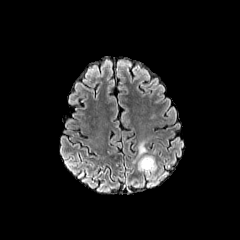
FLAIR MR.
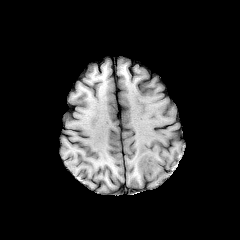
T1-weighted MR image.
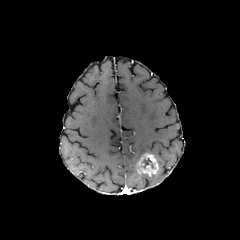
Same slice, post-contrast T1-weighted MR.
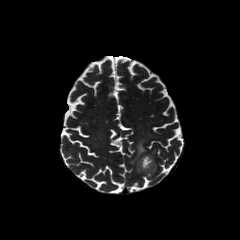
T2-weighted MR image.
Head | Image size 240x240 | Axial plane
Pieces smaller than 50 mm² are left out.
The necrotic tumor core appears at 143 158 153 168. The enhancing tumor appears at 137 153 158 176. The largest peritumoral edema region lies within 137 141 147 160.